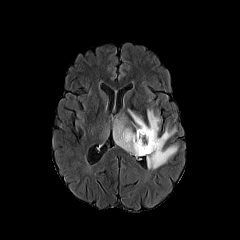
FLAIR magnetic resonance.
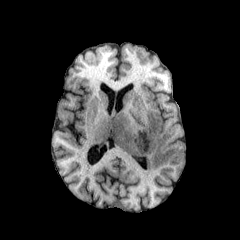
T1-weighted MRI.
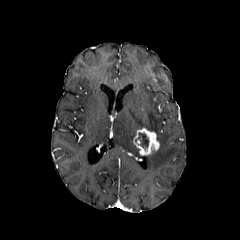
Post-contrast T1-weighted magnetic resonance.
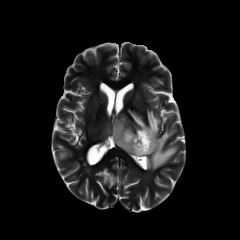
T2-weighted MR image of the same slice.
Axial plane
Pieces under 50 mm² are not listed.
The enhancing tumor is bounded by (133,127,159,155). The largest necrotic tumor core region appears at (135,132,149,150). The 3 largest peritumoral edema regions are bounded by (147,124,177,169), (128,109,160,134), (113,116,140,156).